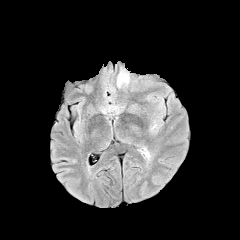
FLAIR MRI.
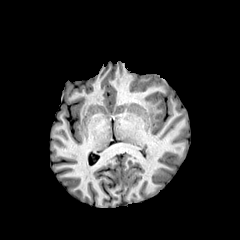
T1-weighted magnetic resonance.
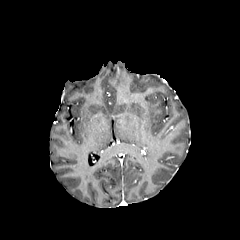
Same slice, post-contrast T1-weighted MR.
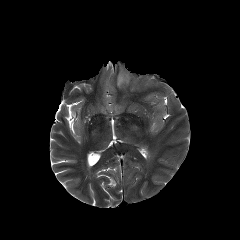
T2-weighted MR of the same slice.
240x240. Brain. Axial view.
The peritumoral edema is located at left=117, top=66, right=162, bottom=92.